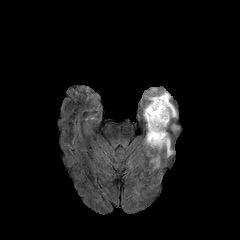
FLAIR MR.
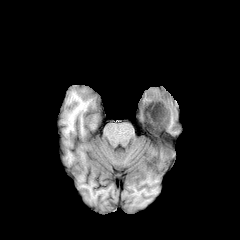
T1-weighted MR image.
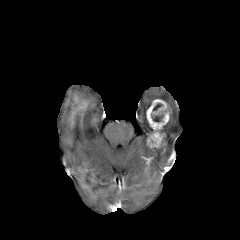
Post-contrast T1-weighted MR image of the same slice.
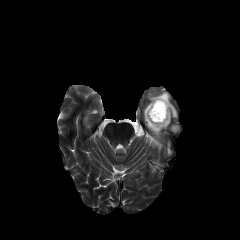
Same slice, T2-weighted MR image.
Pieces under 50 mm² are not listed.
peritumoral edema — 143:87:177:146, 161:120:171:156, 152:157:159:167
necrotic tumor core — 152:114:163:121
enhancing tumor — 146:99:171:147